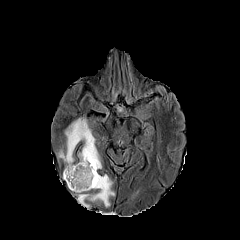
FLAIR MRI.
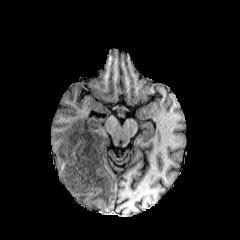
Same slice, T1-weighted MRI.
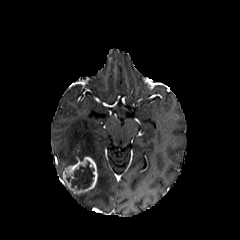
Post-contrast T1-weighted MR of the same slice.
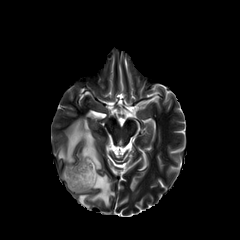
T2-weighted MRI.
240x240 px. Brain.
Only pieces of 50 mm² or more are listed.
peritumoral_edema:
  - [77, 174, 114, 208]
  - [58, 117, 101, 169]
enhancing_tumor:
  - [62, 156, 97, 194]
necrotic_tumor_core:
  - [71, 161, 94, 189]